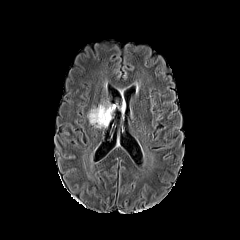
FLAIR MR.
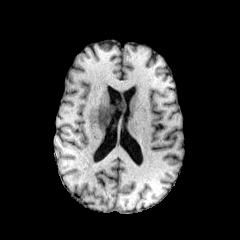
Same slice, T1-weighted MR.
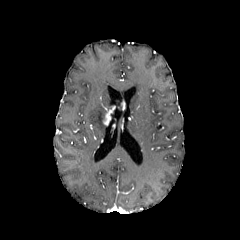
Post-contrast T1-weighted MR.
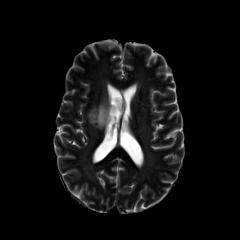
Same slice, T2-weighted magnetic resonance.
Head
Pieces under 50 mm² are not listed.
Annotated regions:
* enhancing tumor: [x1=102, y1=106, x2=115, y2=125]
* peritumoral edema: [x1=87, y1=100, x2=112, y2=128]